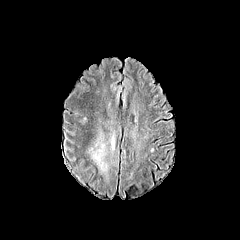
FLAIR MRI.
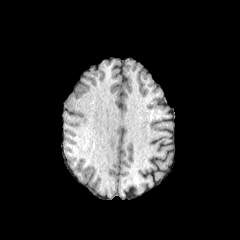
T1-weighted MR of the same slice.
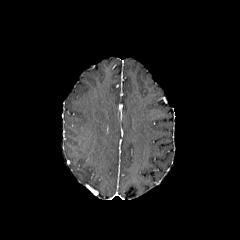
Post-contrast T1-weighted magnetic resonance of the same slice.
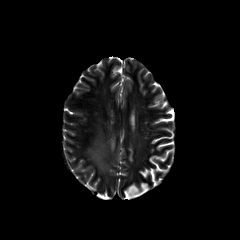
Same slice, T2-weighted MR image.
Head, Axial view
peritumoral_edema:
  - box(92, 142, 107, 171)
  - box(110, 136, 114, 151)